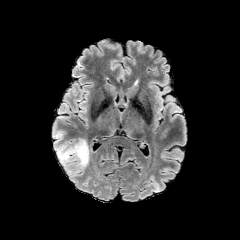
FLAIR magnetic resonance.
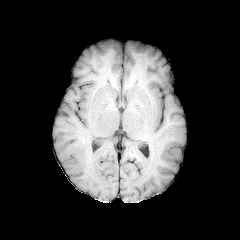
T1-weighted MR.
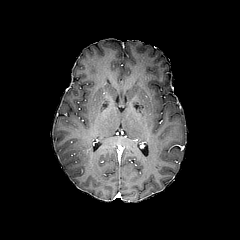
Post-contrast T1-weighted magnetic resonance.
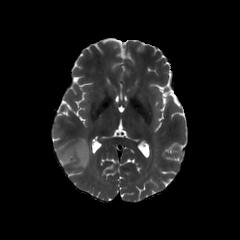
T2-weighted MR image.
Axial slice; Brain
The peritumoral edema lies within 57 139 89 167.